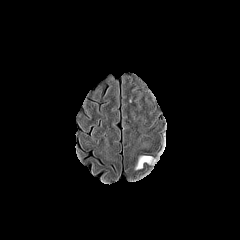
FLAIR MR.
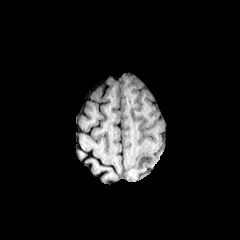
T1-weighted magnetic resonance.
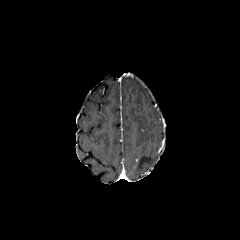
Post-contrast T1-weighted magnetic resonance.
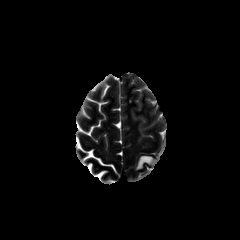
T2-weighted MR.
Head | Axial plane
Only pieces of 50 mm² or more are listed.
- peritumoral edema: [136, 156, 156, 169]